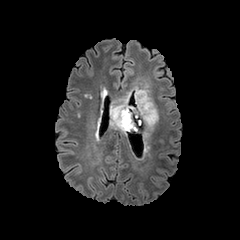
FLAIR MRI.
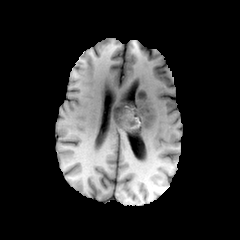
T1-weighted MR image.
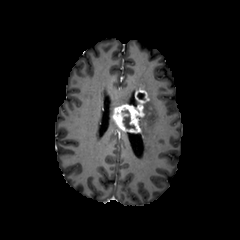
Post-contrast T1-weighted magnetic resonance.
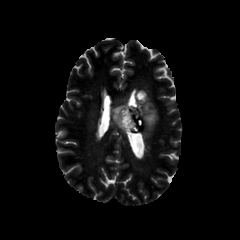
T2-weighted MRI of the same slice.
Axial slice | Brain
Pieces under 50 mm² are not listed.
Segmented structures:
- enhancing tumor: [113, 86, 148, 132]
- necrotic tumor core: [122, 109, 137, 130], [137, 92, 146, 100]
- peritumoral edema: [128, 97, 158, 136], [111, 92, 128, 134]